Head. Axial view.
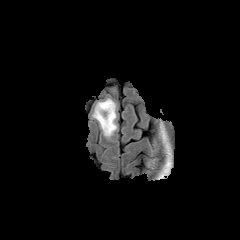
FLAIR MRI.
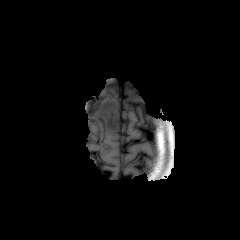
T1-weighted MR.
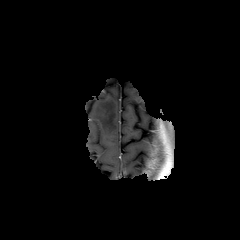
Post-contrast T1-weighted magnetic resonance.
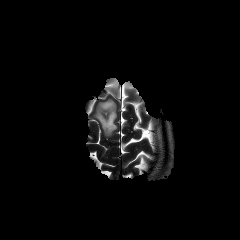
Same slice, T2-weighted magnetic resonance.
The peritumoral edema appears at 92, 98, 117, 138.